Brain
FLAIR magnetic resonance.
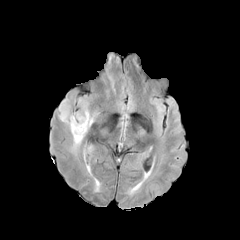
T1-weighted MR.
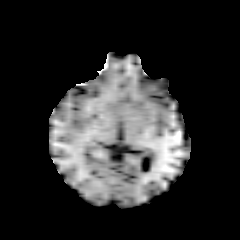
Post-contrast T1-weighted MR image.
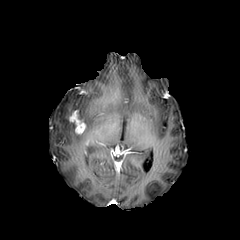
T2-weighted MRI.
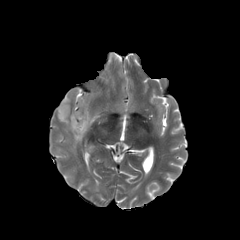
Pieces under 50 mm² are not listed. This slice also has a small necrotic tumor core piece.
The largest enhancing tumor region is located at l=69, t=110, r=86, b=134. The peritumoral edema is bounded by l=58, t=99, r=94, b=149.